Image covers 240 mm x 240 mm
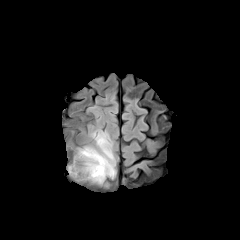
FLAIR MR.
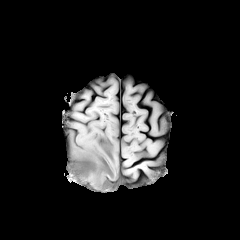
T1-weighted MR image.
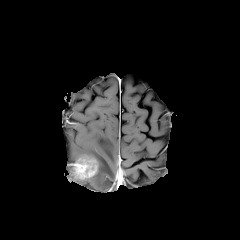
Post-contrast T1-weighted MR.
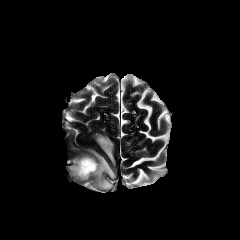
T2-weighted MR image.
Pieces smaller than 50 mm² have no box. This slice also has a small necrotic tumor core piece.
The enhancing tumor is at region(71, 154, 102, 180). The largest peritumoral edema region is at region(78, 132, 115, 184).